Slice 76/155 | Image covers 240 mm x 240 mm | Axial plane
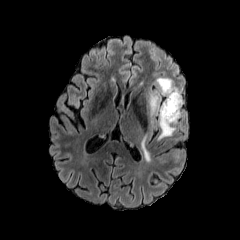
FLAIR MR image.
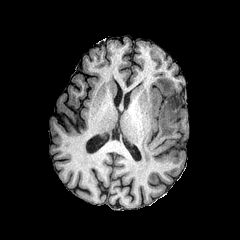
T1-weighted magnetic resonance.
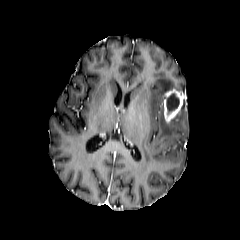
Same slice, post-contrast T1-weighted MRI.
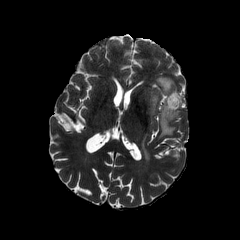
Same slice, T2-weighted MR image.
enhancing tumor at [163, 88, 182, 122]
peritumoral edema at [158, 104, 180, 139], [157, 77, 177, 94], [141, 136, 150, 161], [149, 94, 159, 115]
necrotic tumor core at [166, 93, 179, 114]